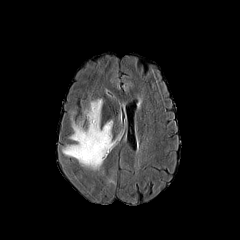
FLAIR MR image.
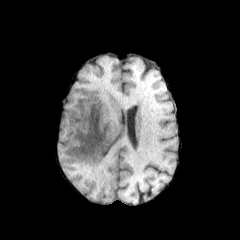
T1-weighted magnetic resonance of the same slice.
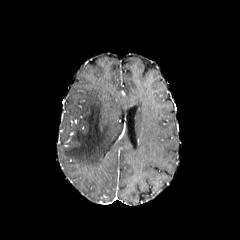
Same slice, post-contrast T1-weighted MR image.
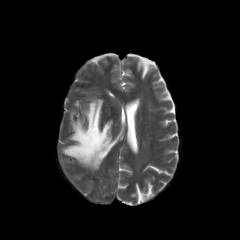
T2-weighted MR.
Image size 240x240
peritumoral_edema:
  - l=61, t=99, r=123, b=170
  - l=106, t=177, r=115, b=184